Image width 240 mm, 1.00 mm slice spacing. Slice 46/155. Head.
FLAIR MR.
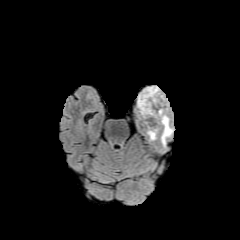
T1-weighted MR image.
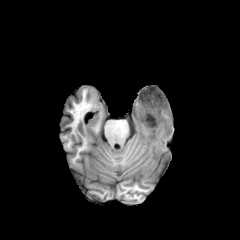
Post-contrast T1-weighted MR image.
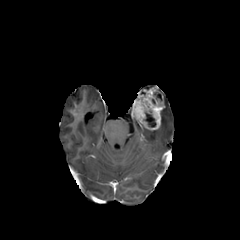
T2-weighted magnetic resonance.
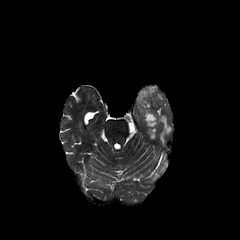
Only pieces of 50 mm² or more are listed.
necrotic tumor core: bounding box box=[145, 112, 155, 127]
enhancing tumor: bounding box box=[133, 86, 165, 130]
peritumoral edema: bounding box box=[160, 96, 172, 147]; box=[147, 130, 157, 140]